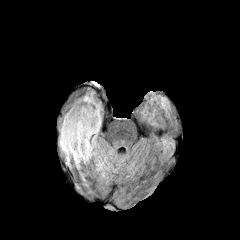
FLAIR MRI.
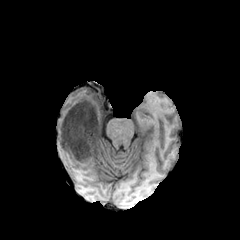
T1-weighted magnetic resonance.
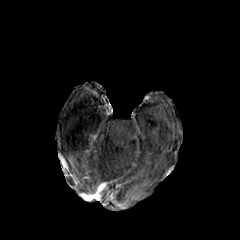
Post-contrast T1-weighted MRI.
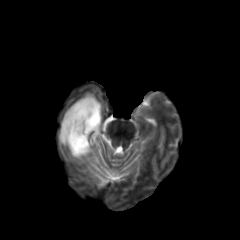
Same slice, T2-weighted MR.
Brain
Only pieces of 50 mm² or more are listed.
<segmentation>
  <enhancing_tumor>{"x1": 83, "y1": 130, "x2": 99, "y2": 155}</enhancing_tumor>
  <necrotic_tumor_core>{"x1": 87, "y1": 92, "x2": 97, "y2": 101}, {"x1": 91, "y1": 132, "x2": 99, "y2": 153}, {"x1": 66, "y1": 113, "x2": 97, "y2": 155}</necrotic_tumor_core>
  <peritumoral_edema>{"x1": 59, "y1": 93, "x2": 101, "y2": 168}</peritumoral_edema>
</segmentation>